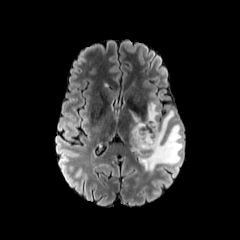
FLAIR MR.
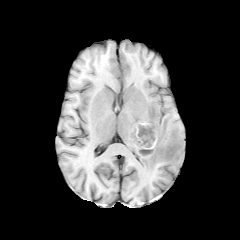
Same slice, T1-weighted MRI.
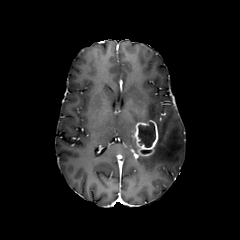
Post-contrast T1-weighted magnetic resonance.
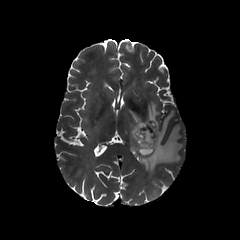
T2-weighted MR image.
Axial slice; Head
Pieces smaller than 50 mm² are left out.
The largest enhancing tumor region lies within 132,121,158,157. 2 peritumoral edema regions are bounded by 128,109,142,150; 138,102,182,174. The largest necrotic tumor core region lies within 138,121,155,148.